Axial view.
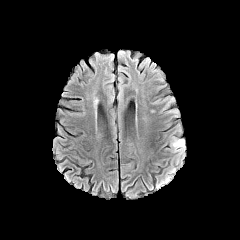
FLAIR MR.
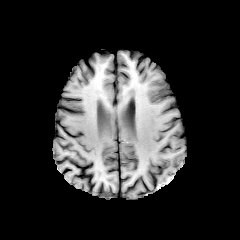
T1-weighted MR.
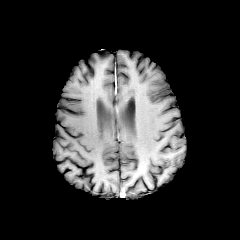
Post-contrast T1-weighted magnetic resonance.
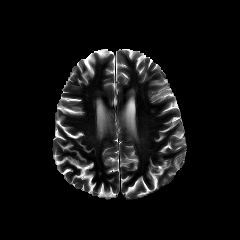
T2-weighted MRI.
peritumoral edema: {"x1": 173, "y1": 137, "x2": 185, "y2": 148}